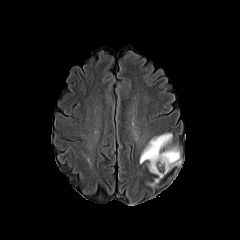
FLAIR MR.
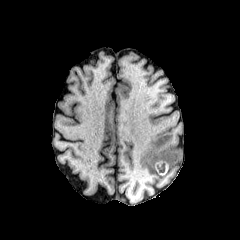
T1-weighted magnetic resonance.
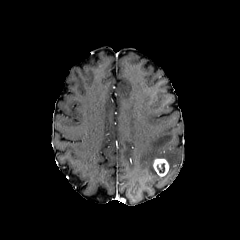
Post-contrast T1-weighted MR image.
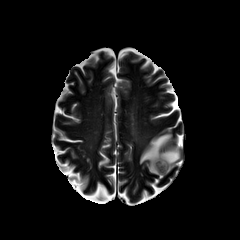
T2-weighted MRI.
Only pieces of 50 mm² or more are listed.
{"peritumoral_edema": ["(x1=139, y1=133, x2=181, y2=174)"], "enhancing_tumor": ["(x1=153, y1=158, x2=169, y2=176)"], "necrotic_tumor_core": ["(x1=157, y1=163, x2=164, y2=172)"]}